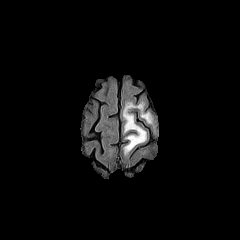
FLAIR MRI.
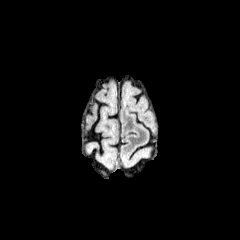
T1-weighted MR.
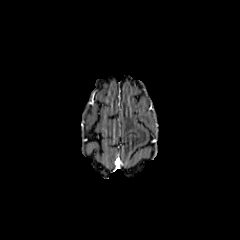
Same slice, post-contrast T1-weighted MR.
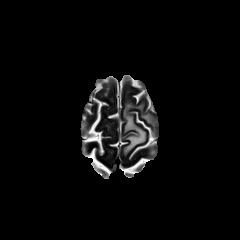
T2-weighted MR image.
Axial slice.
The peritumoral edema lies within <box>123,102,152,154</box>.